FLAIR MR.
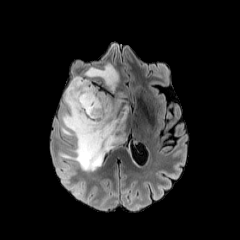
T1-weighted MR.
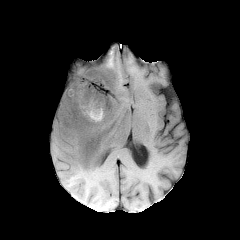
Post-contrast T1-weighted MR image.
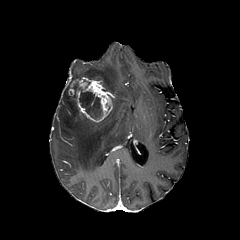
T2-weighted magnetic resonance.
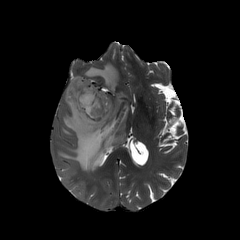
Image size 240x240, Head, Axial view
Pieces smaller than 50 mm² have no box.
Segmented structures:
* enhancing tumor: [68, 77, 112, 122]
* necrotic tumor core: [72, 82, 102, 119]
* peritumoral edema: [59, 63, 128, 171]